Slice 100/155 | Axial view
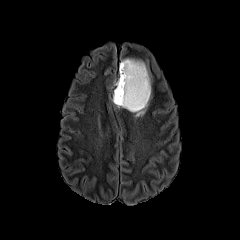
FLAIR MR image.
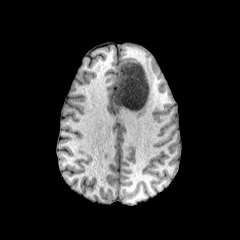
T1-weighted MRI.
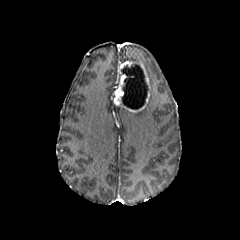
Post-contrast T1-weighted MR.
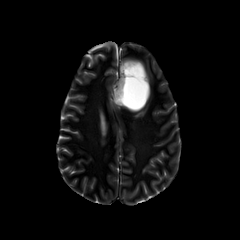
T2-weighted MR image.
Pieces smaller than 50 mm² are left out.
The enhancing tumor is bounded by 113, 61, 150, 112. The necrotic tumor core is bounded by 121, 64, 148, 109. The largest peritumoral edema region lies within 121, 58, 151, 118.